Axial plane
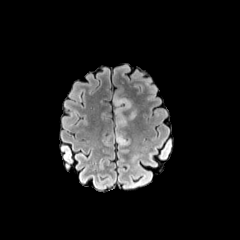
FLAIR magnetic resonance.
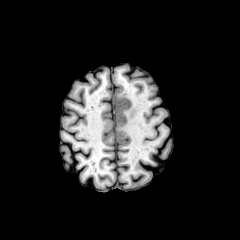
T1-weighted magnetic resonance.
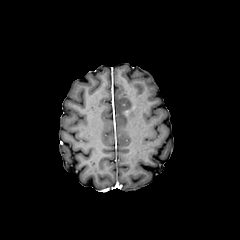
Post-contrast T1-weighted MR image.
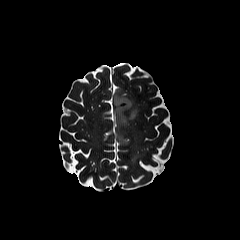
Same slice, T2-weighted MR image.
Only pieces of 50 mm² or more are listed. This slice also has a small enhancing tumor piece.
peritumoral edema = x1=113, y1=93, x2=136, y2=123